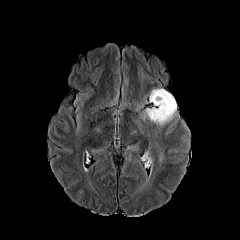
FLAIR magnetic resonance.
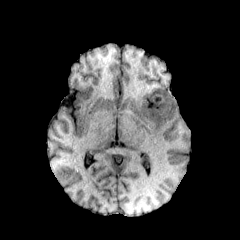
Same slice, T1-weighted magnetic resonance.
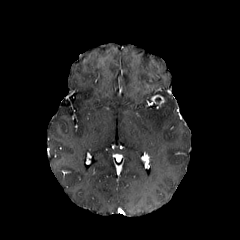
Post-contrast T1-weighted MRI.
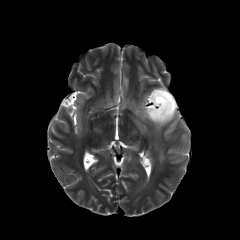
T2-weighted magnetic resonance of the same slice.
Axial plane
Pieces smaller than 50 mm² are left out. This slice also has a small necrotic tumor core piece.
enhancing tumor: bounding box region(151, 94, 164, 106)
peritumoral edema: bounding box region(144, 88, 176, 125)